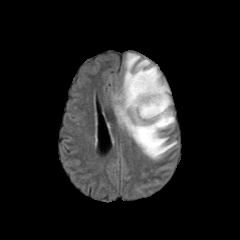
FLAIR magnetic resonance.
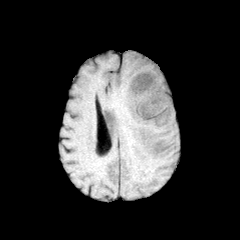
Same slice, T1-weighted MRI.
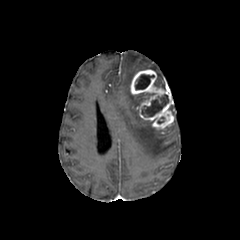
Post-contrast T1-weighted magnetic resonance.
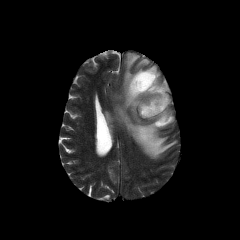
Same slice, T2-weighted magnetic resonance.
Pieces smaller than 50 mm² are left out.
enhancing tumor — rect(130, 69, 174, 129)
necrotic tumor core — rect(141, 94, 168, 116); rect(135, 74, 154, 89)
peritumoral edema — rect(147, 66, 164, 85); rect(114, 53, 176, 159)